Brain. Slice 87/155.
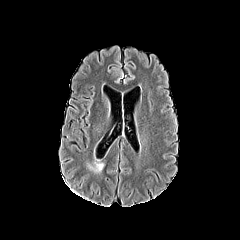
FLAIR MRI.
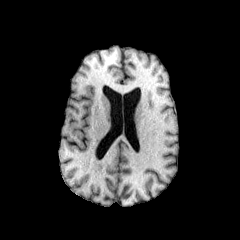
T1-weighted MR image.
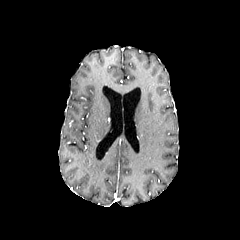
Post-contrast T1-weighted MR image.
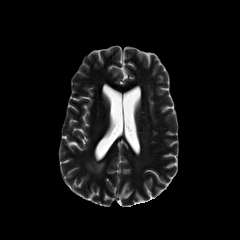
Same slice, T2-weighted magnetic resonance.
peritumoral edema at 88 162 104 172